Image size 240x240
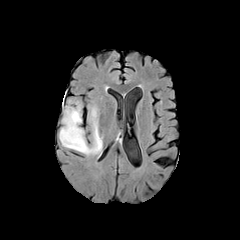
FLAIR MRI.
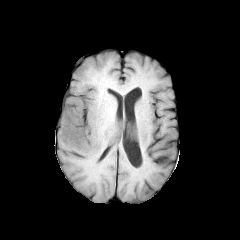
T1-weighted MR.
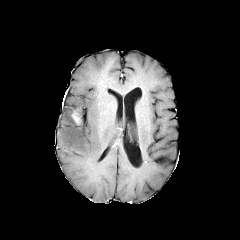
Post-contrast T1-weighted magnetic resonance.
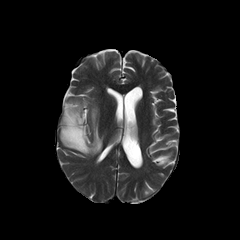
T2-weighted MR of the same slice.
The enhancing tumor appears at region(72, 112, 80, 123). The peritumoral edema is bounded by region(59, 100, 102, 155).